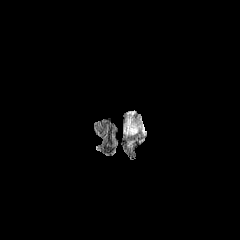
FLAIR MR image.
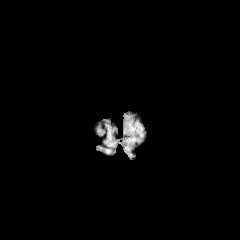
Same slice, T1-weighted MRI.
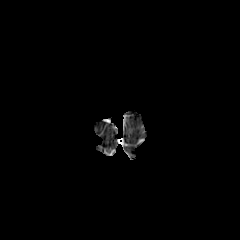
Post-contrast T1-weighted MRI.
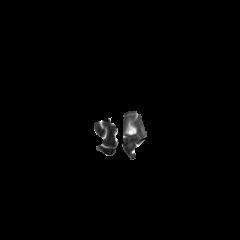
T2-weighted MR.
Head; Axial plane
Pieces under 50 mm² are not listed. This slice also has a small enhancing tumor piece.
peritumoral edema: bounding box l=127, t=120, r=137, b=134